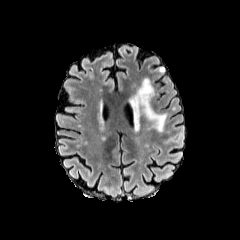
FLAIR MR.
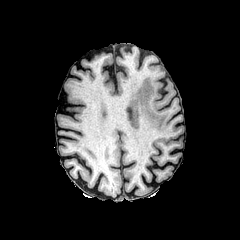
T1-weighted MR image.
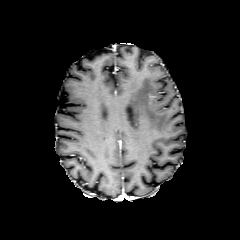
Post-contrast T1-weighted MR image.
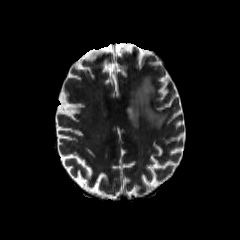
Same slice, T2-weighted magnetic resonance.
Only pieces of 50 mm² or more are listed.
Findings:
* peritumoral edema: (130, 78, 166, 130)